FLAIR magnetic resonance.
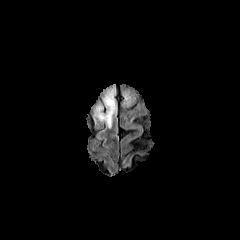
T1-weighted MRI.
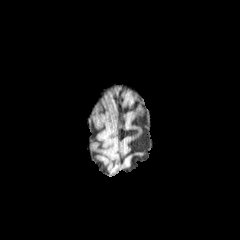
Post-contrast T1-weighted magnetic resonance.
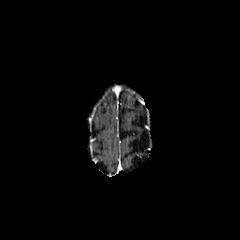
T2-weighted magnetic resonance.
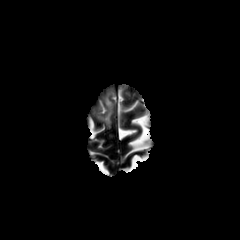
Brain. Axial view.
The peritumoral edema is bounded by (left=95, top=88, right=115, bottom=127).